FLAIR MR image.
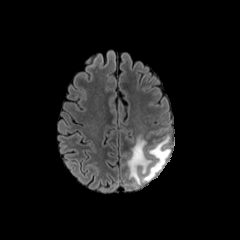
T1-weighted MR image.
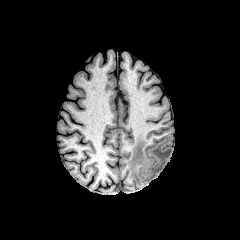
Post-contrast T1-weighted magnetic resonance.
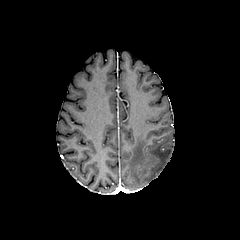
T2-weighted MRI.
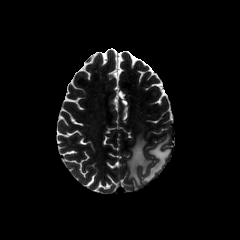
Axial view
The peritumoral edema is bounded by 127 135 171 185.